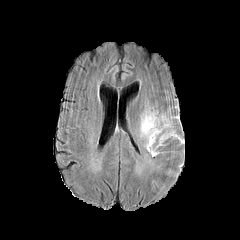
FLAIR MRI.
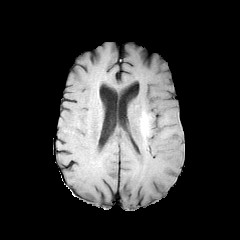
T1-weighted MR.
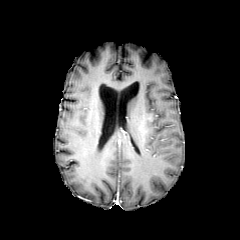
Same slice, post-contrast T1-weighted MRI.
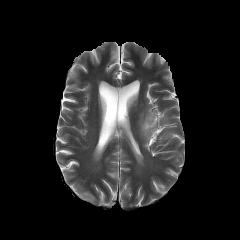
Same slice, T2-weighted MR.
Axial view; Head
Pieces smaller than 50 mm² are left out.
The largest peritumoral edema region is bounded by bbox(141, 113, 162, 150).